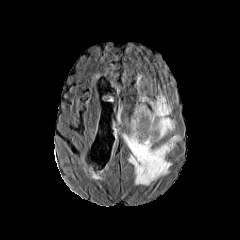
FLAIR MRI.
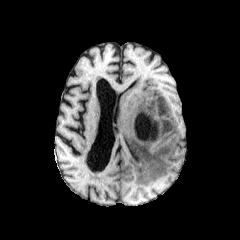
T1-weighted MRI.
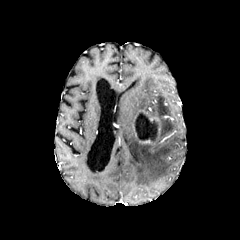
Post-contrast T1-weighted magnetic resonance of the same slice.
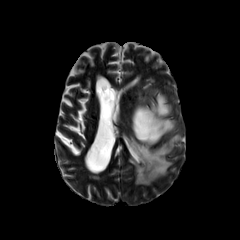
T2-weighted magnetic resonance of the same slice.
240x240 px.
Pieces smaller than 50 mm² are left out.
<segmentation>
  <enhancing_tumor>[134,110,160,139], [138,139,154,143]</enhancing_tumor>
  <necrotic_tumor_core>[134,112,158,141]</necrotic_tumor_core>
  <peritumoral_edema>[122,127,179,185], [131,94,174,140]</peritumoral_edema>
</segmentation>